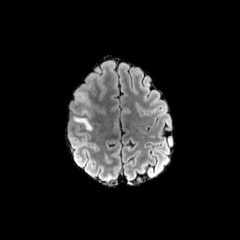
FLAIR MRI.
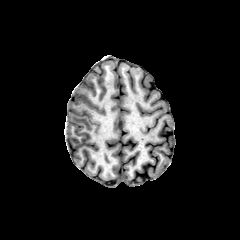
T1-weighted magnetic resonance of the same slice.
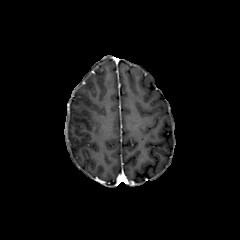
Post-contrast T1-weighted magnetic resonance of the same slice.
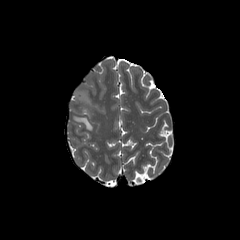
Same slice, T2-weighted MR.
Image size 240x240. Brain.
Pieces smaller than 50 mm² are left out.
The 2 largest peritumoral edema regions are bounded by 72, 116, 91, 129; 75, 89, 89, 105.